FLAIR MR image.
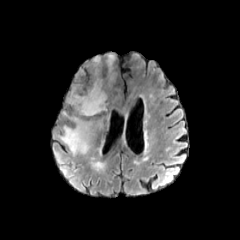
T1-weighted MR image.
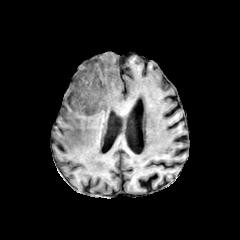
Post-contrast T1-weighted MR.
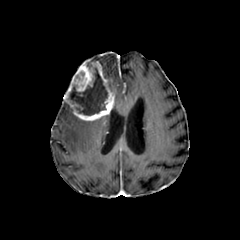
T2-weighted magnetic resonance.
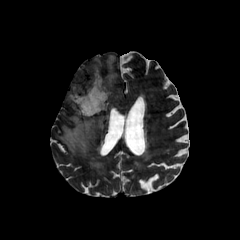
240x240 px; Brain
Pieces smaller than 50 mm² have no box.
{
  "peritumoral_edema": [
    "[106,54,115,80]",
    "[59,111,94,155]"
  ],
  "enhancing_tumor": [
    "[64,60,114,121]"
  ],
  "necrotic_tumor_core": [
    "[69,68,107,115]"
  ]
}